Image width 240 mm, Brain, Axial plane
FLAIR MRI.
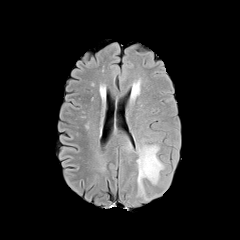
T1-weighted MR.
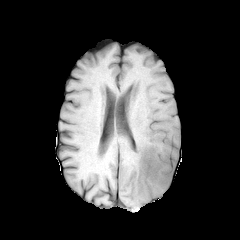
Post-contrast T1-weighted MR.
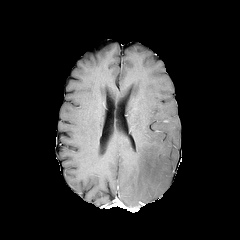
T2-weighted MR image.
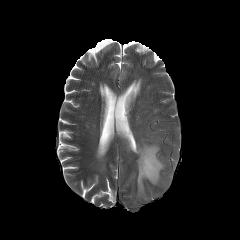
peritumoral_edema:
  - <box>125,143,132,151</box>
  - <box>137,144,164,199</box>